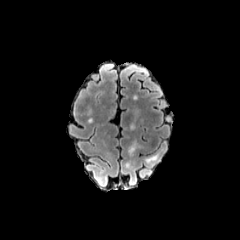
FLAIR MR image.
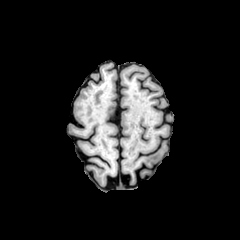
T1-weighted MR image of the same slice.
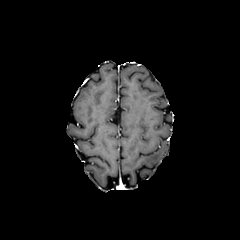
Post-contrast T1-weighted MRI.
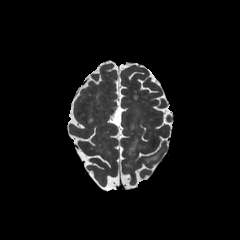
T2-weighted MRI.
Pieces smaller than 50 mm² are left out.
The 2 largest peritumoral edema regions are bounded by (x1=145, y1=154, x2=158, y2=162), (x1=126, y1=146, x2=140, y2=157).